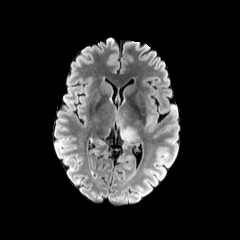
FLAIR MRI.
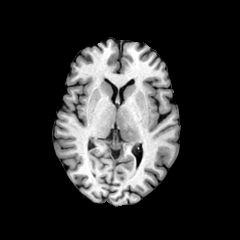
T1-weighted MR of the same slice.
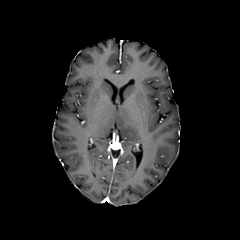
Post-contrast T1-weighted MRI of the same slice.
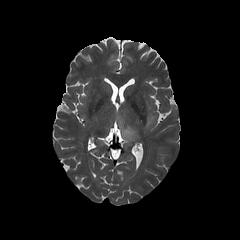
T2-weighted MRI.
Axial view; 240x240; Head
peritumoral edema: bounding box (170, 105, 177, 114), (117, 108, 139, 143), (145, 106, 155, 131)